Image covers 240 mm x 240 mm; Axial view; Image size 240x240
FLAIR magnetic resonance.
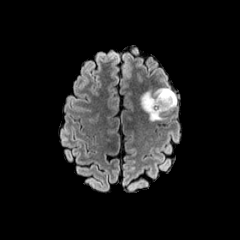
T1-weighted magnetic resonance.
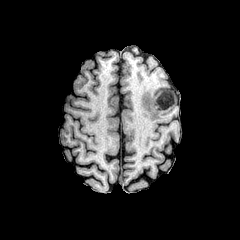
Post-contrast T1-weighted magnetic resonance.
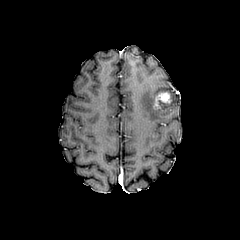
T2-weighted MR.
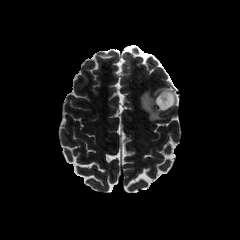
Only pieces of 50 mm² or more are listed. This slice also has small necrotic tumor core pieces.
The peritumoral edema lies within <box>139,87,176,121</box>. The enhancing tumor appears at <box>152,91,174,112</box>.